Axial plane, Brain
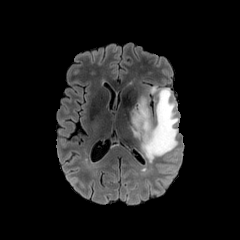
FLAIR MRI.
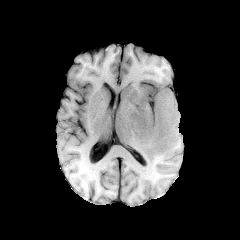
T1-weighted MR.
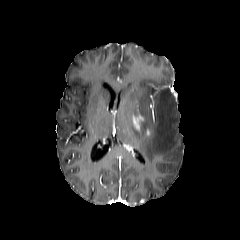
Post-contrast T1-weighted magnetic resonance of the same slice.
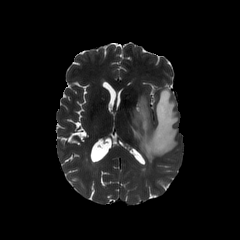
T2-weighted magnetic resonance.
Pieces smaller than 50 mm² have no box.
The largest peritumoral edema region is at region(131, 86, 178, 162). The largest enhancing tumor region appears at region(131, 113, 144, 130).